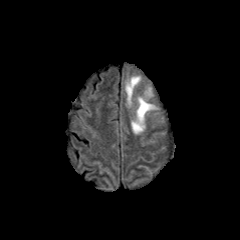
FLAIR magnetic resonance.
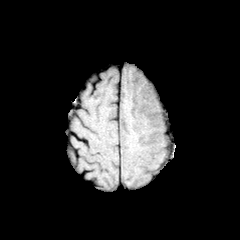
T1-weighted magnetic resonance.
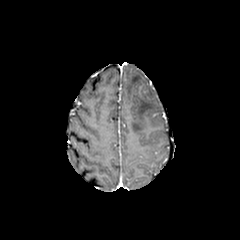
Post-contrast T1-weighted MR image.
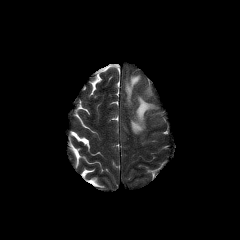
T2-weighted magnetic resonance of the same slice.
240x240 px
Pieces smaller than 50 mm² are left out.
peritumoral_edema:
  - box=[125, 76, 140, 106]
  - box=[131, 96, 156, 134]